Slice index 88
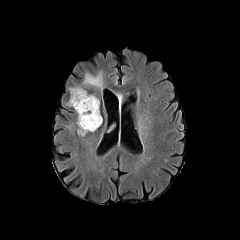
FLAIR MR image.
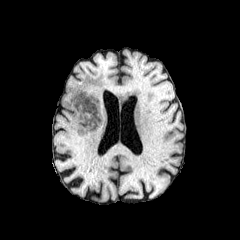
T1-weighted MR image.
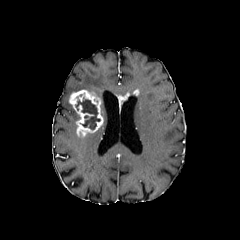
Post-contrast T1-weighted magnetic resonance.
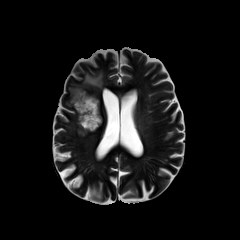
Same slice, T2-weighted magnetic resonance.
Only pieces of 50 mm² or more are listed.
Findings:
• enhancing tumor: box=[118, 93, 129, 112]; box=[69, 89, 103, 136]
• peritumoral edema: box=[82, 72, 103, 90]; box=[69, 86, 83, 94]
• necrotic tumor core: box=[76, 99, 100, 129]